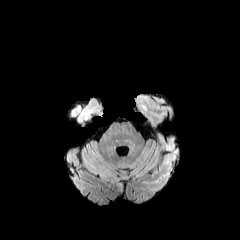
FLAIR magnetic resonance.
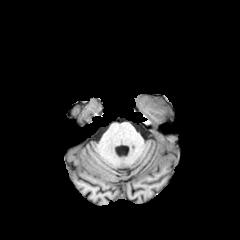
T1-weighted magnetic resonance.
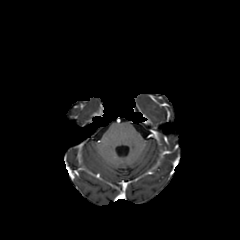
Same slice, post-contrast T1-weighted MRI.
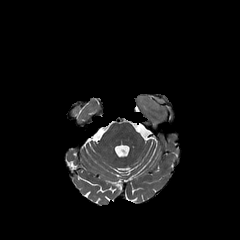
T2-weighted MRI of the same slice.
Brain | Image size 240x240
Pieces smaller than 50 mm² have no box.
peritumoral_edema:
  - box(138, 96, 154, 111)